Image size 240x240; Brain
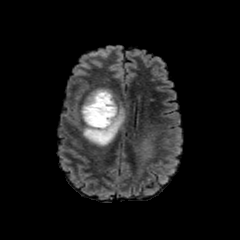
FLAIR MR.
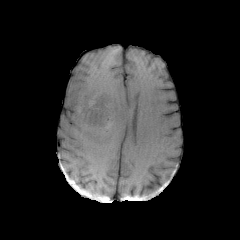
T1-weighted MR.
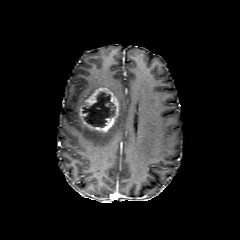
Post-contrast T1-weighted MR image of the same slice.
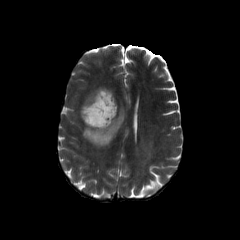
T2-weighted MR.
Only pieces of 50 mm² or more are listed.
The necrotic tumor core is bounded by [83, 92, 115, 127]. The largest enhancing tumor region is located at [79, 87, 118, 132]. The 2 largest peritumoral edema regions are located at [133, 134, 157, 178], [82, 105, 125, 146].